Head | Slice 100 of 155
FLAIR MR image.
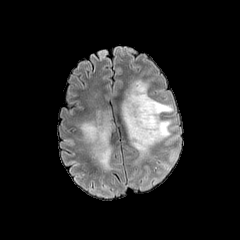
T1-weighted MR image.
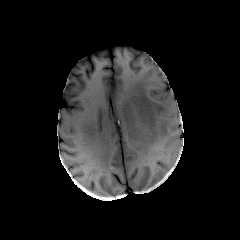
Post-contrast T1-weighted magnetic resonance.
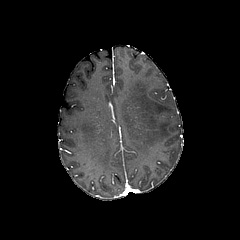
T2-weighted MR.
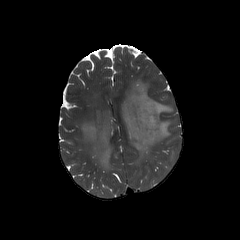
Segmented structures:
* peritumoral edema: region(80, 110, 113, 170); region(121, 79, 173, 159)